FLAIR MRI.
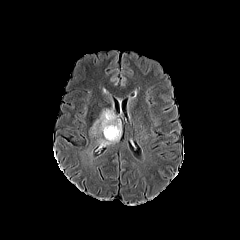
T1-weighted magnetic resonance.
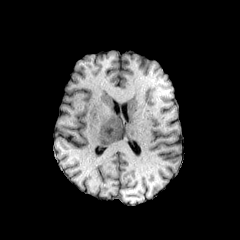
Post-contrast T1-weighted MRI.
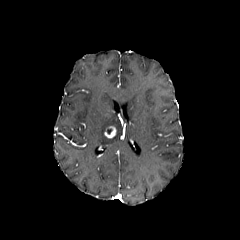
T2-weighted MR.
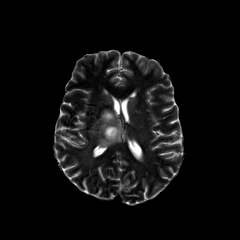
Axial slice.
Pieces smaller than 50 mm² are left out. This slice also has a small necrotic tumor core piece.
peritumoral edema: <bbox>91, 109, 121, 145</bbox> | enhancing tumor: <bbox>104, 126, 116, 138</bbox>